Axial plane. Slice 98/155.
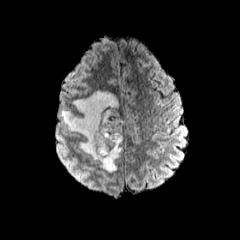
FLAIR MR image.
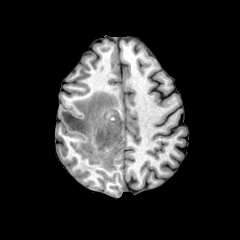
T1-weighted MR of the same slice.
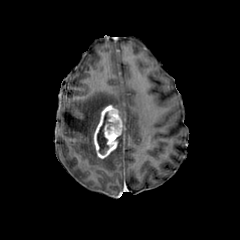
Same slice, post-contrast T1-weighted MR.
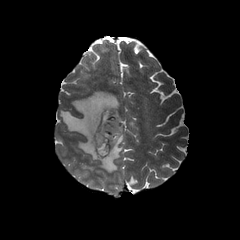
T2-weighted MR image of the same slice.
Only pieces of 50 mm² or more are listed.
enhancing tumor — left=93, top=105, right=123, bottom=158
necrotic tumor core — left=97, top=111, right=118, bottom=154
peritumoral edema — left=61, top=91, right=122, bottom=172